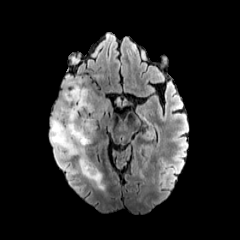
FLAIR MR image.
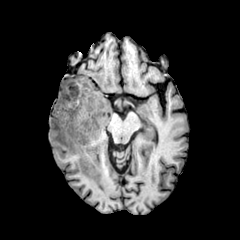
T1-weighted magnetic resonance.
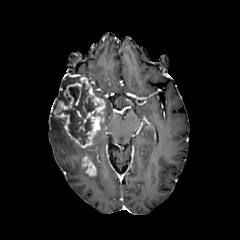
Post-contrast T1-weighted magnetic resonance.
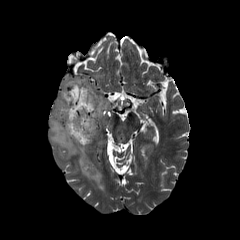
T2-weighted MR image.
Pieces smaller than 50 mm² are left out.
<segmentation>
  <peritumoral_edema>(left=61, top=76, right=80, bottom=92), (left=50, top=116, right=103, bottom=188)</peritumoral_edema>
  <enhancing_tumor>(left=54, top=76, right=105, bottom=148), (left=81, top=155, right=96, bottom=176)</enhancing_tumor>
  <necrotic_tumor_core>(left=58, top=83, right=94, bottom=144), (left=58, top=93, right=70, bottom=105)</necrotic_tumor_core>
</segmentation>